FLAIR MR.
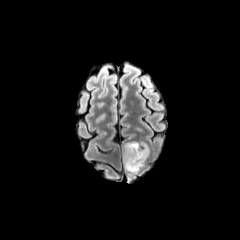
T1-weighted MR.
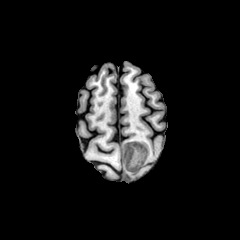
Post-contrast T1-weighted MR.
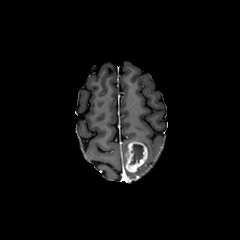
T2-weighted MR image.
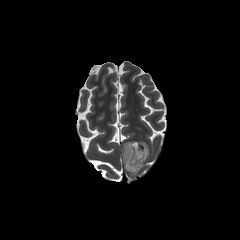
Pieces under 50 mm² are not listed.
- enhancing tumor: box=[124, 141, 147, 172]
- necrotic tumor core: box=[130, 144, 143, 164]
- peritumoral edema: box=[123, 142, 129, 167]